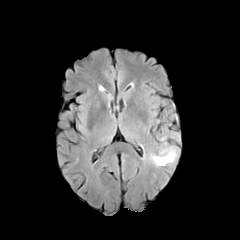
FLAIR MR image.
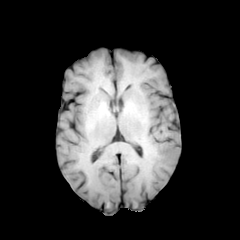
T1-weighted MR.
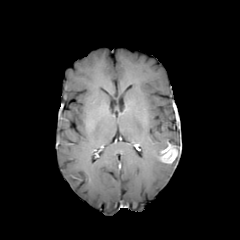
Post-contrast T1-weighted MR image.
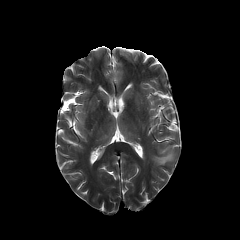
T2-weighted MRI.
Image size 240x240 | Axial slice | Head
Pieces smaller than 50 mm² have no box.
The largest peritumoral edema region is bounded by {"x1": 149, "y1": 143, "x2": 167, "y2": 166}. The enhancing tumor is at {"x1": 159, "y1": 144, "x2": 177, "y2": 163}.